Axial view, Image width 240 mm, 240x240 px
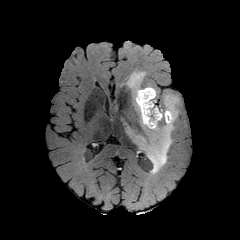
FLAIR MRI.
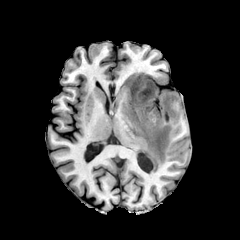
T1-weighted MRI.
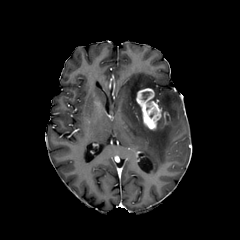
Post-contrast T1-weighted MRI.
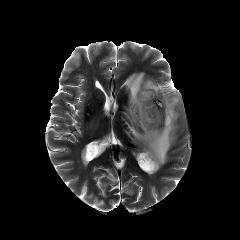
T2-weighted MRI.
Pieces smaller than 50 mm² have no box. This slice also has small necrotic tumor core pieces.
The largest enhancing tumor region is at [x1=136, y1=88, x2=161, y2=129]. The largest peritumoral edema region is located at [x1=123, y1=72, x2=179, y2=173].